Axial slice; Brain; 240x240 px
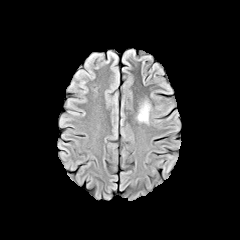
FLAIR MR image.
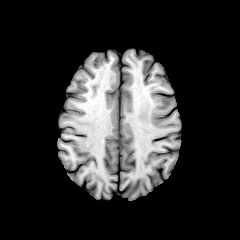
Same slice, T1-weighted magnetic resonance.
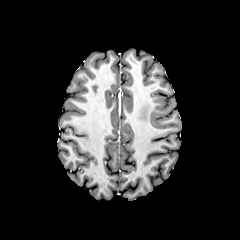
Post-contrast T1-weighted MR of the same slice.
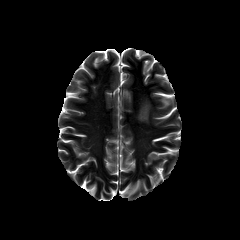
T2-weighted MR.
peritumoral edema: box=[137, 103, 149, 123]